240x240, Axial plane, Image width 240 mm, 1.00 mm slice spacing
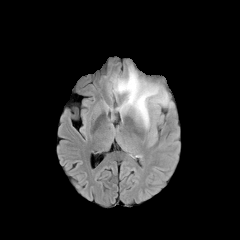
FLAIR magnetic resonance.
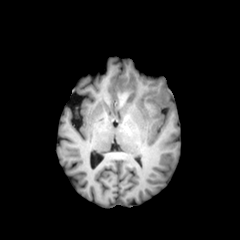
Same slice, T1-weighted MR image.
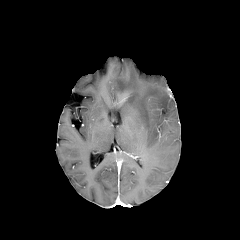
Post-contrast T1-weighted MR.
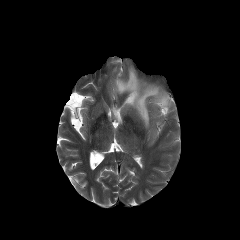
T2-weighted MR image.
peritumoral_edema:
  - [114,68,171,127]